FLAIR MR.
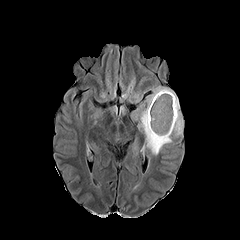
T1-weighted MR image.
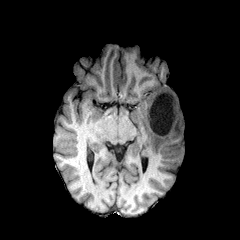
Post-contrast T1-weighted magnetic resonance.
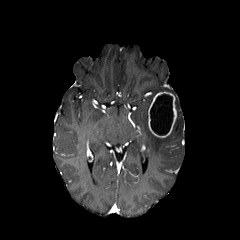
T2-weighted MR image.
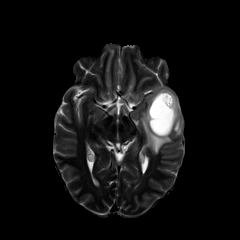
Axial plane. Head.
• peritumoral edema: [140, 86, 183, 154]
• necrotic tumor core: [150, 94, 173, 135]
• enhancing tumor: [148, 91, 176, 137]